FLAIR MR image.
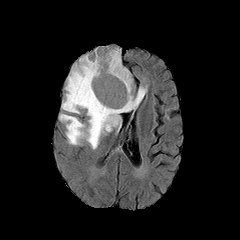
T1-weighted MR.
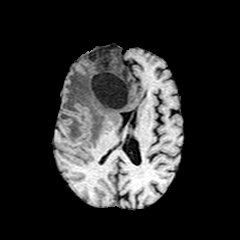
Post-contrast T1-weighted MRI.
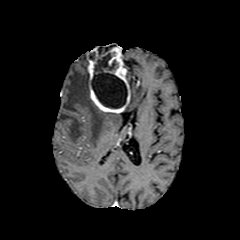
T2-weighted magnetic resonance.
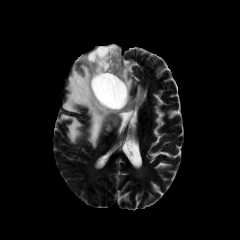
240x240; Axial slice
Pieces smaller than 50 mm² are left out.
necrotic tumor core = box(98, 46, 115, 56); box(91, 53, 127, 108); box(89, 52, 95, 60)
enhancing tumor = box(86, 46, 130, 113)
peritumoral edema = box(124, 87, 146, 111); box(59, 55, 121, 149); box(127, 70, 132, 90)